Slice index 76. Image width 240 mm, 1.00 mm slice spacing.
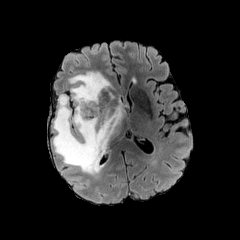
FLAIR MRI.
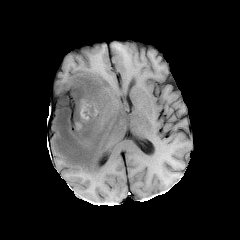
T1-weighted MR.
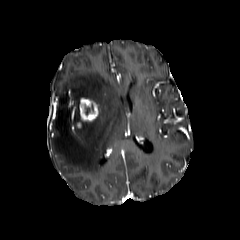
Post-contrast T1-weighted MRI.
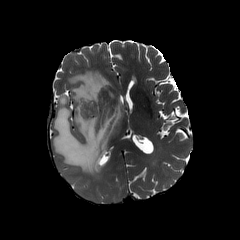
T2-weighted MR image.
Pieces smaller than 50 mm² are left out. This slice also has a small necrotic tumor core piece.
Segmented structures:
• peritumoral edema: <bbox>52, 71, 125, 176</bbox>
• enhancing tumor: <bbox>77, 98, 98, 132</bbox>